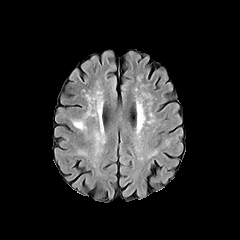
FLAIR MR.
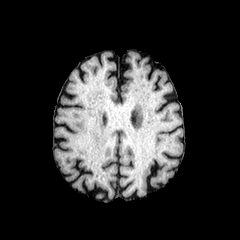
T1-weighted MR.
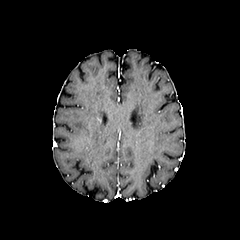
Post-contrast T1-weighted MR image.
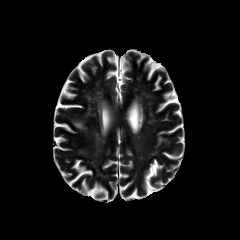
Same slice, T2-weighted MR.
Axial slice, 240x240 px
peritumoral edema: [x1=71, y1=118, x2=86, y2=130]